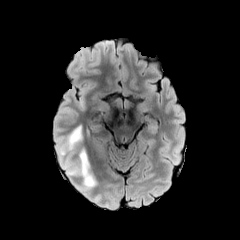
FLAIR magnetic resonance.
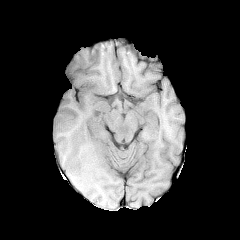
T1-weighted magnetic resonance of the same slice.
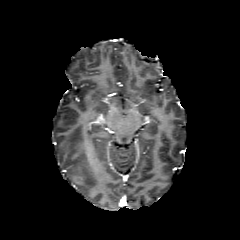
Post-contrast T1-weighted MR image of the same slice.
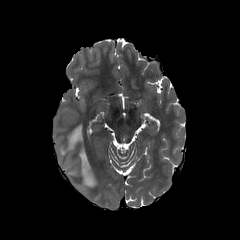
Same slice, T2-weighted MR.
Axial view.
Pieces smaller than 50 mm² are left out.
The 2 largest peritumoral edema regions appear at {"x1": 59, "y1": 125, "x2": 82, "y2": 155}, {"x1": 67, "y1": 149, "x2": 97, "y2": 188}.